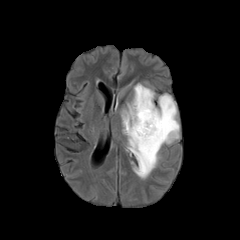
FLAIR MRI.
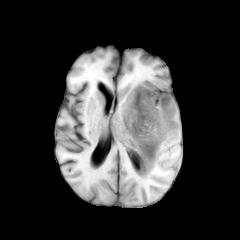
Same slice, T1-weighted MR image.
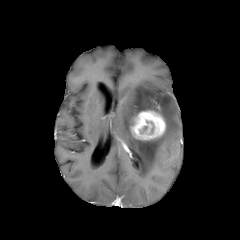
Same slice, post-contrast T1-weighted MRI.
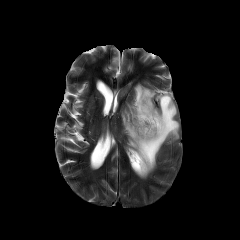
T2-weighted MR of the same slice.
240x240 px | Axial slice
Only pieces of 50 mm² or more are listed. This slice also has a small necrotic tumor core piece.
enhancing tumor: x1=130 y1=110 x2=165 y2=140
peritumoral edema: x1=121 y1=83 x2=179 y2=178